FLAIR magnetic resonance.
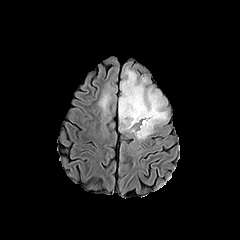
T1-weighted magnetic resonance.
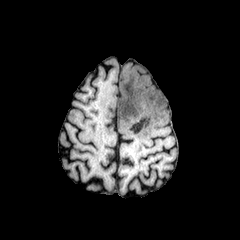
Post-contrast T1-weighted MRI.
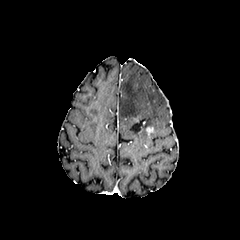
T2-weighted MR image.
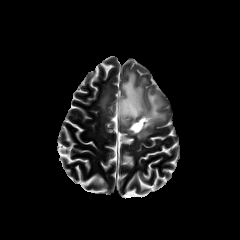
Axial view
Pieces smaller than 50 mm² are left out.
Segmented structures:
- necrotic tumor core: box=[131, 117, 148, 133]; box=[124, 87, 140, 117]
- enhancing tumor: box=[145, 126, 153, 135]
- peritumoral edema: box=[99, 92, 110, 112]; box=[119, 68, 167, 132]; box=[133, 132, 147, 139]